Brain
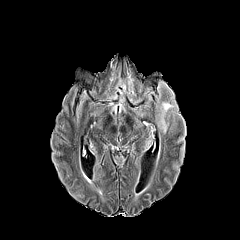
FLAIR MR image.
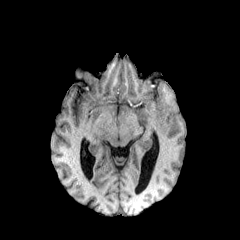
T1-weighted MR of the same slice.
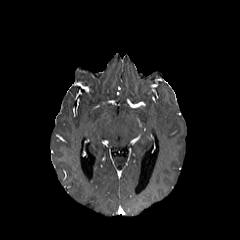
Post-contrast T1-weighted magnetic resonance.
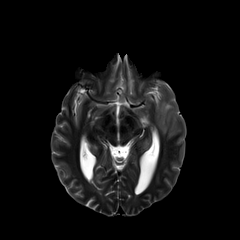
T2-weighted MRI.
The peritumoral edema is located at bbox=[157, 102, 177, 133].